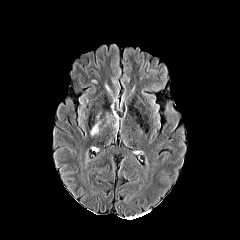
FLAIR MR image.
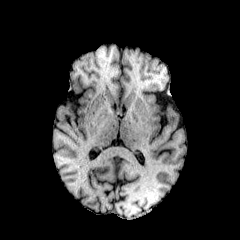
T1-weighted magnetic resonance.
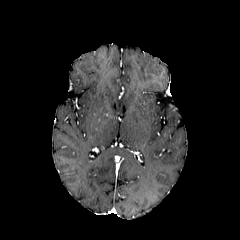
Post-contrast T1-weighted magnetic resonance.
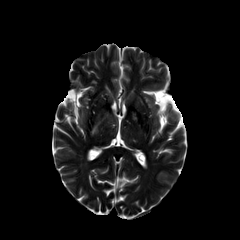
T2-weighted MR.
Brain | Axial slice | Image size 240x240
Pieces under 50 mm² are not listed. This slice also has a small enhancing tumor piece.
peritumoral edema: bounding box 90, 121, 100, 135; 113, 111, 118, 130